Axial view, Brain
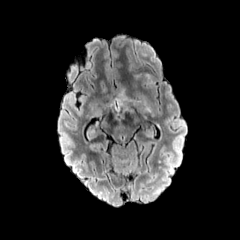
FLAIR MR image.
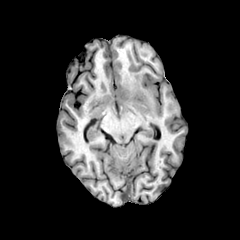
T1-weighted MR image of the same slice.
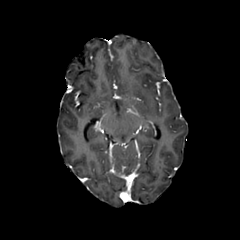
Post-contrast T1-weighted MR image.
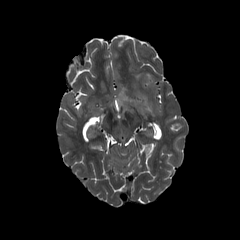
Same slice, T2-weighted MRI.
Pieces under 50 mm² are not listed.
peritumoral edema at bbox=[145, 73, 152, 83]; bbox=[118, 87, 130, 105]; bbox=[136, 93, 151, 112]